Image width 240 mm | Slice index 99
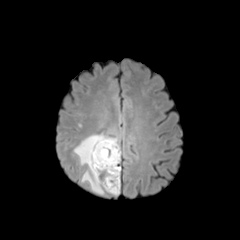
FLAIR MRI.
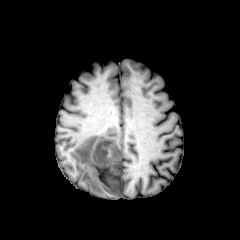
T1-weighted MR.
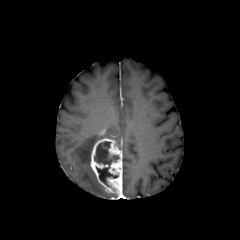
Post-contrast T1-weighted MR image.
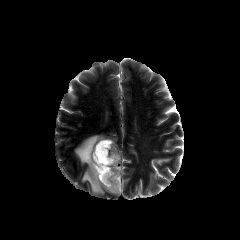
Same slice, T2-weighted MR.
2 necrotic tumor core regions are bounded by [94,141,119,165], [96,167,118,186]. The peritumoral edema is located at [74,134,120,194]. The enhancing tumor appears at [90,138,122,194].